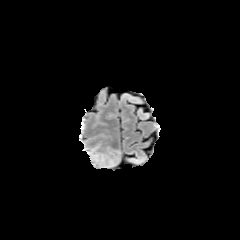
FLAIR MR image.
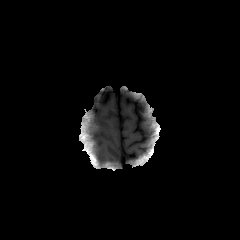
Same slice, T1-weighted MR.
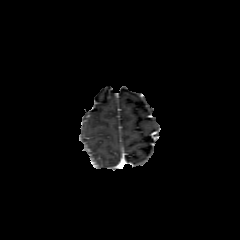
Post-contrast T1-weighted MRI.
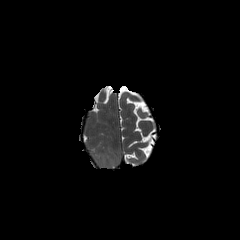
Same slice, T2-weighted MR image.
Brain
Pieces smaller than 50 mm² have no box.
{"peritumoral_edema": ["88 148 95 164"]}